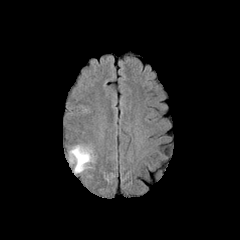
FLAIR magnetic resonance.
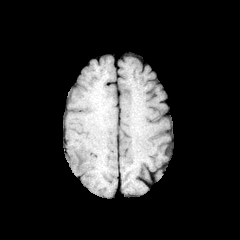
T1-weighted magnetic resonance.
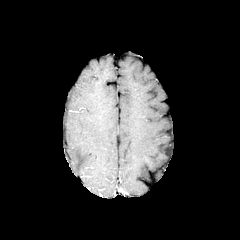
Post-contrast T1-weighted MR image of the same slice.
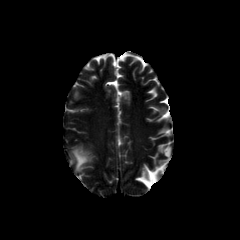
T2-weighted magnetic resonance of the same slice.
Head, 240x240 px
Findings:
• peritumoral edema: (69,145,92,173)